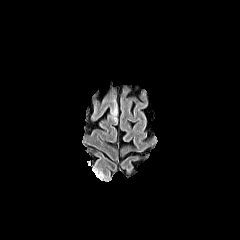
FLAIR MR.
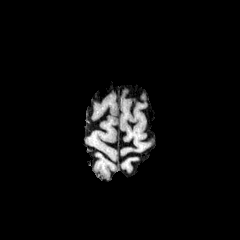
T1-weighted magnetic resonance of the same slice.
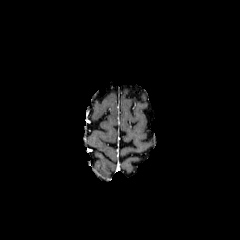
Post-contrast T1-weighted MR image.
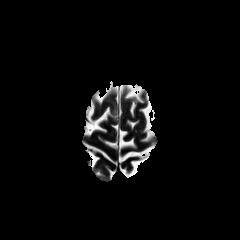
T2-weighted magnetic resonance.
Head | Image size 240x240
* peritumoral edema: l=110, t=96, r=118, b=123